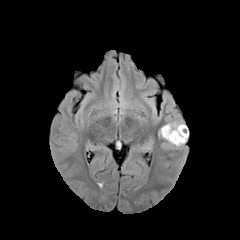
FLAIR MR.
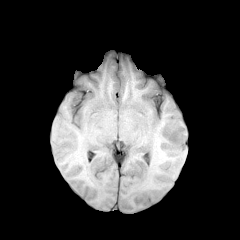
Same slice, T1-weighted MR.
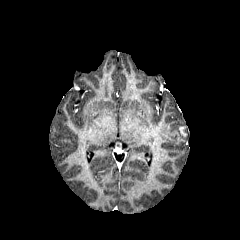
Post-contrast T1-weighted MRI.
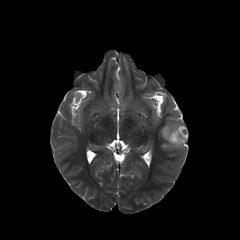
T2-weighted MRI of the same slice.
Brain
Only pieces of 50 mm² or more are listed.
peritumoral_edema:
  - 158, 122, 188, 147
enhancing_tumor:
  - 179, 126, 186, 136